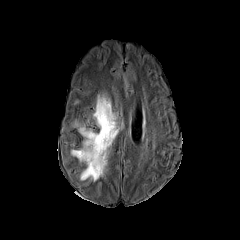
FLAIR MR.
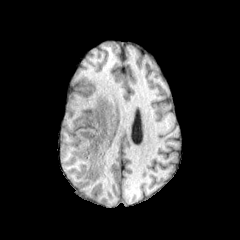
T1-weighted MR of the same slice.
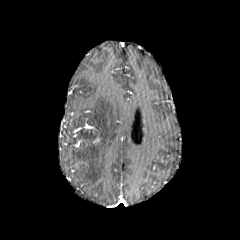
Post-contrast T1-weighted MR image of the same slice.
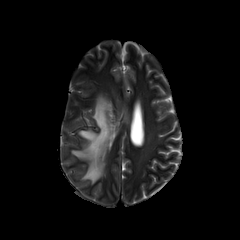
T2-weighted MRI.
Axial view. Head.
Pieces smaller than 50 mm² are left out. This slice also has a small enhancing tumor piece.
peritumoral edema = left=71, top=95, right=119, bottom=181